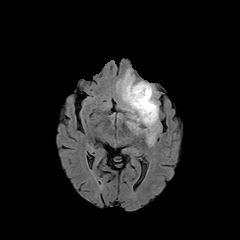
FLAIR MRI.
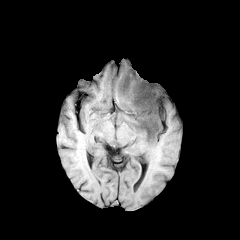
T1-weighted MRI.
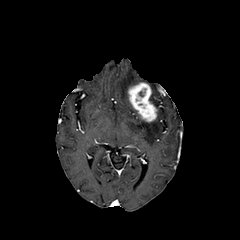
Same slice, post-contrast T1-weighted magnetic resonance.
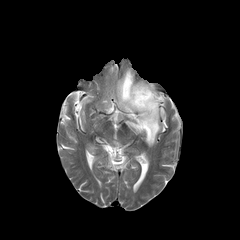
Same slice, T2-weighted MR image.
240x240. Brain.
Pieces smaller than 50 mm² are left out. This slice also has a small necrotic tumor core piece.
enhancing tumor: bbox(127, 82, 157, 122) | peritumoral edema: bbox(116, 69, 136, 112); bbox(127, 84, 160, 146)